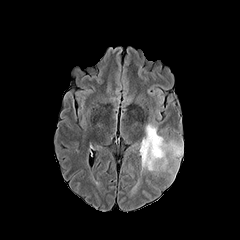
FLAIR MR image.
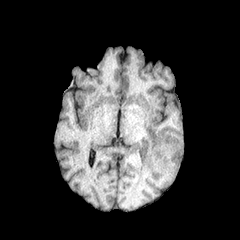
T1-weighted MRI.
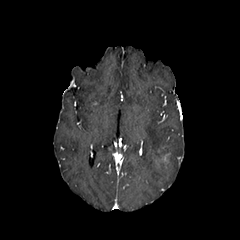
Same slice, post-contrast T1-weighted MR image.
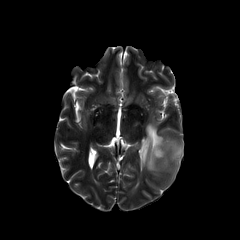
Same slice, T2-weighted MR image.
240x240 px. Axial plane.
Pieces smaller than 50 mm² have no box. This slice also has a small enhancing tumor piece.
The largest peritumoral edema region appears at left=141, top=123, right=182, bottom=171.